FLAIR MR image.
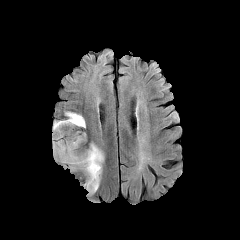
T1-weighted MRI.
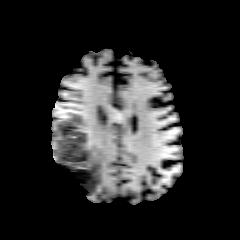
Post-contrast T1-weighted MR.
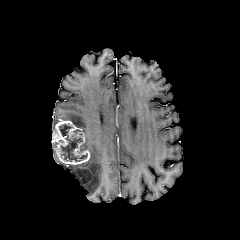
T2-weighted MRI.
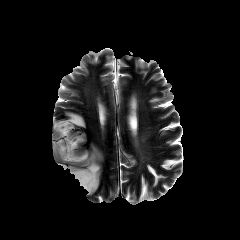
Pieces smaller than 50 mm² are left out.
necrotic tumor core at <bbox>59, 124, 87, 161</bbox>
enhancing tumor at <bbox>52, 120, 89, 165</bbox>
peritumoral edema at <bbox>65, 111, 85, 128</bbox>, <bbox>68, 143, 104, 195</bbox>